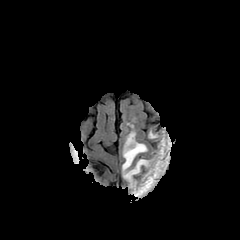
FLAIR MR image.
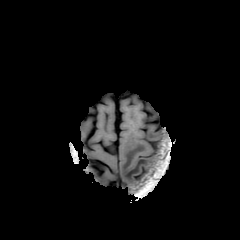
Same slice, T1-weighted magnetic resonance.
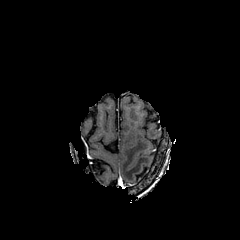
Post-contrast T1-weighted MR image of the same slice.
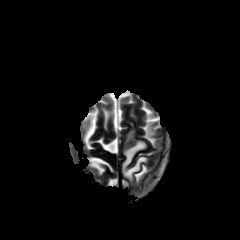
Same slice, T2-weighted MR image.
240x240 px.
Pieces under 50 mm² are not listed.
The 2 largest peritumoral edema regions are bounded by (x1=122, y1=131, x2=148, y2=186), (x1=148, y1=130, x2=157, y2=138).